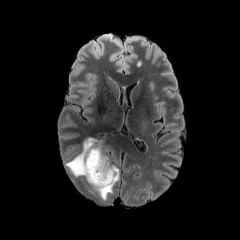
FLAIR MR.
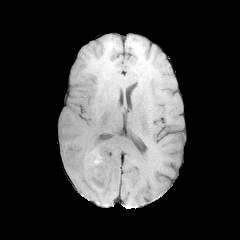
T1-weighted MRI.
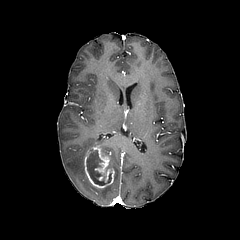
Post-contrast T1-weighted MR image.
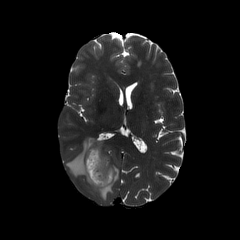
T2-weighted MR image.
Head | Axial view
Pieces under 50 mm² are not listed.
The necrotic tumor core is bounded by [86, 150, 111, 185]. The peritumoral edema is bounded by [65, 137, 119, 200]. The largest enhancing tumor region is located at [83, 146, 114, 189].